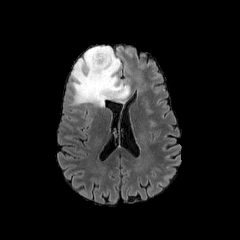
FLAIR MR.
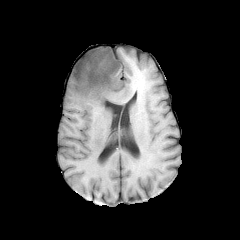
Same slice, T1-weighted MR image.
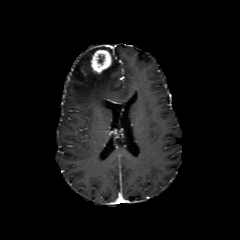
Post-contrast T1-weighted MR image of the same slice.
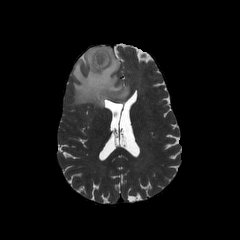
T2-weighted MRI.
Head | Axial plane
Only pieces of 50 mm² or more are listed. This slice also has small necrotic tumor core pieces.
<segmentation>
  <peritumoral_edema>x1=71, y1=46, x2=129, y2=107</peritumoral_edema>
  <enhancing_tumor>x1=91, y1=50, x2=112, y2=73</enhancing_tumor>
</segmentation>